240x240 px; Head
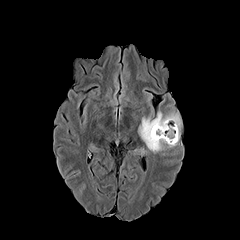
FLAIR MRI.
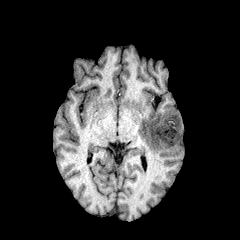
T1-weighted magnetic resonance of the same slice.
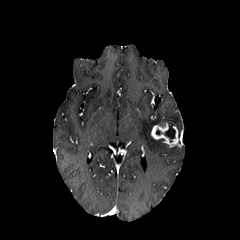
Post-contrast T1-weighted MRI of the same slice.
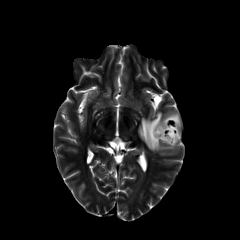
T2-weighted MRI of the same slice.
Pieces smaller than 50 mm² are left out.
enhancing tumor: bounding box <box>151,123,179,147</box>
peritumoral edema: bounding box <box>138,111,181,152</box>
necrotic tumor core: bounding box <box>164,125,175,142</box>